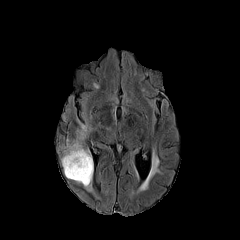
FLAIR MR.
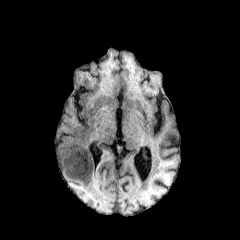
T1-weighted magnetic resonance of the same slice.
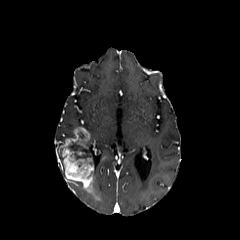
Post-contrast T1-weighted MR.
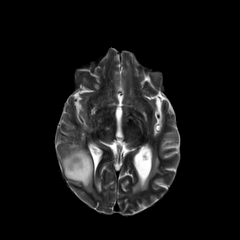
Same slice, T2-weighted MR.
240x240 | Head
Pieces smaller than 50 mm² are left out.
necrotic tumor core: 68 141 89 160
peritumoral edema: 78 114 92 132
enhancing tumor: 58 127 101 200